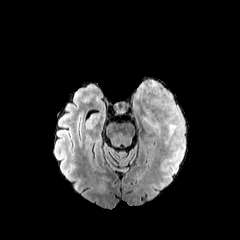
FLAIR MR image.
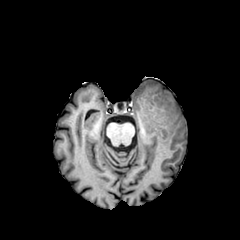
T1-weighted magnetic resonance of the same slice.
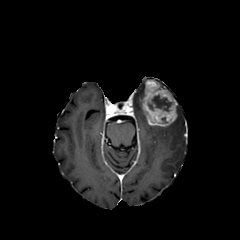
Post-contrast T1-weighted MR of the same slice.
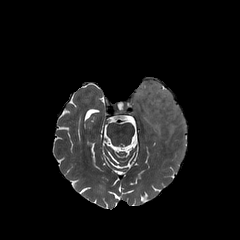
T2-weighted MRI of the same slice.
Brain | Image size 240x240
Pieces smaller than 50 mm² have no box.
Segmented structures:
* peritumoral edema: {"x1": 150, "y1": 106, "x2": 184, "y2": 144}, {"x1": 135, "y1": 83, "x2": 144, "y2": 100}
* necrotic tumor core: {"x1": 152, "y1": 95, "x2": 172, "y2": 111}
* enhancing tumor: {"x1": 141, "y1": 80, "x2": 177, "y2": 126}